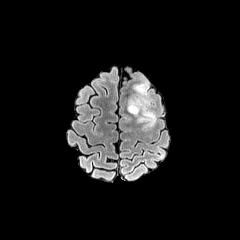
FLAIR MR.
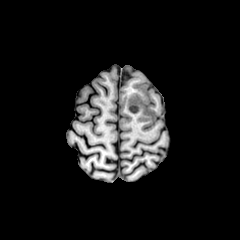
Same slice, T1-weighted MR image.
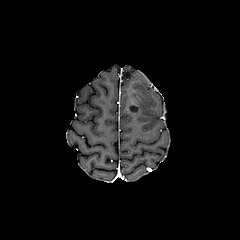
Same slice, post-contrast T1-weighted magnetic resonance.
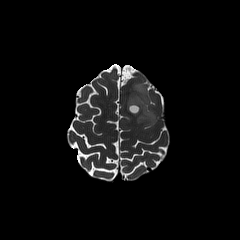
T2-weighted MR of the same slice.
Head
The enhancing tumor is bounded by rect(127, 98, 141, 114). The necrotic tumor core is at rect(129, 106, 137, 112). The peritumoral edema lies within rect(128, 76, 156, 126).